FLAIR magnetic resonance.
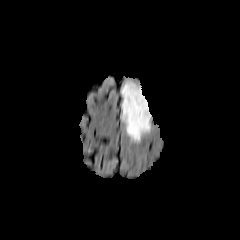
T1-weighted MR image.
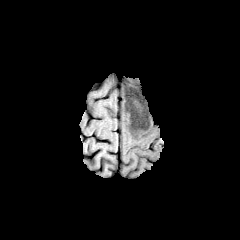
Post-contrast T1-weighted MR.
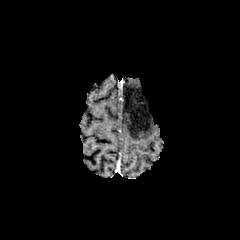
T2-weighted MR image.
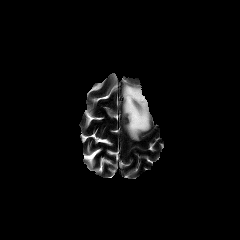
Head. Image size 240x240.
peritumoral edema at rect(122, 82, 150, 141)